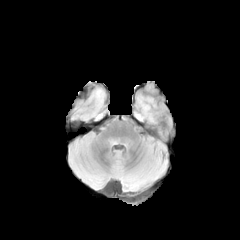
FLAIR magnetic resonance.
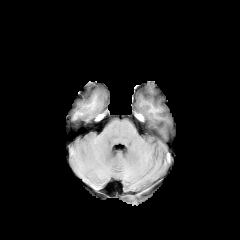
T1-weighted MR image.
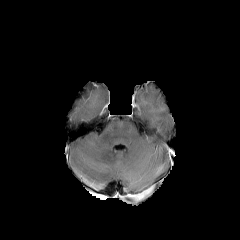
Post-contrast T1-weighted magnetic resonance.
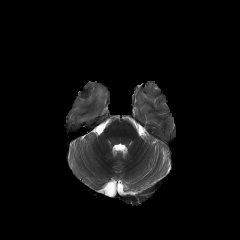
T2-weighted magnetic resonance.
peritumoral edema: (95, 89, 103, 102)